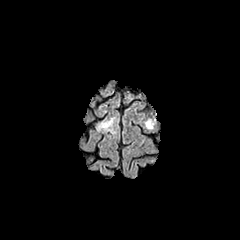
FLAIR MRI.
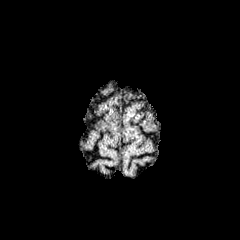
Same slice, T1-weighted MR.
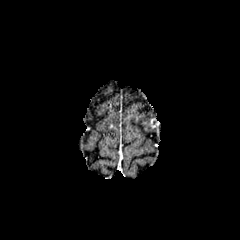
Post-contrast T1-weighted MR image of the same slice.
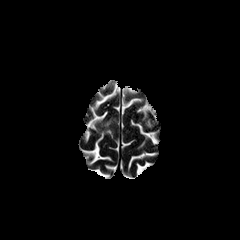
Same slice, T2-weighted magnetic resonance.
Axial slice. Brain.
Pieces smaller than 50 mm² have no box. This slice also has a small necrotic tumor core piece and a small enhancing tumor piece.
2 peritumoral edema regions are located at [x1=145, y1=119, x2=153, y2=129], [x1=98, y1=117, x2=115, y2=133].